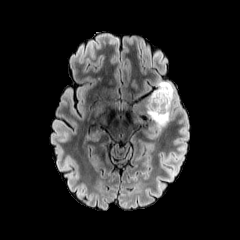
FLAIR MRI.
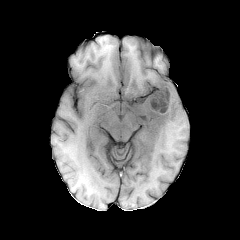
T1-weighted MR.
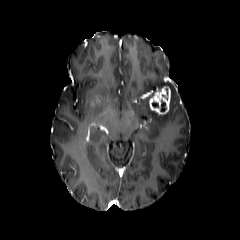
Post-contrast T1-weighted magnetic resonance.
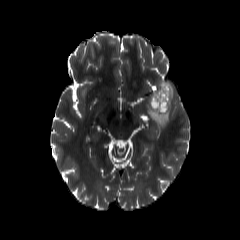
T2-weighted MRI.
Head
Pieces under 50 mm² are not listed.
The enhancing tumor appears at x1=149 y1=86 x2=171 y2=114. The largest necrotic tumor core region lies within x1=160 y1=99 x2=166 y2=112. The peritumoral edema is at x1=146 y1=80 x2=175 y2=129.